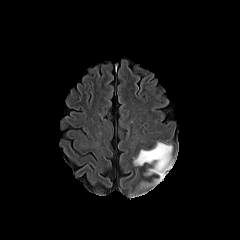
FLAIR MR image.
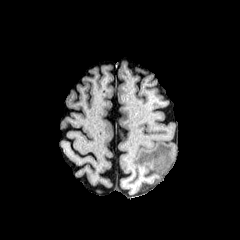
T1-weighted MRI.
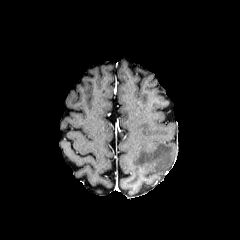
Post-contrast T1-weighted MR.
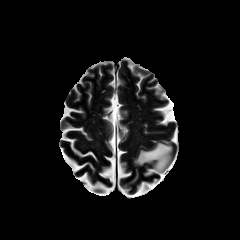
Same slice, T2-weighted MR image.
Axial plane
peritumoral edema: <bbox>133, 142, 174, 182</bbox>